240x240, Slice 93/155
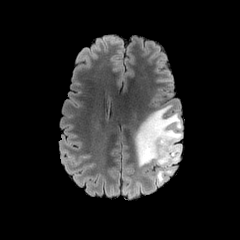
FLAIR MRI.
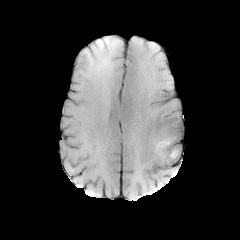
T1-weighted MRI.
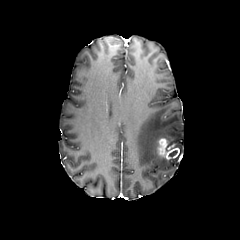
Post-contrast T1-weighted MRI of the same slice.
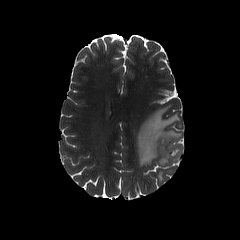
T2-weighted magnetic resonance of the same slice.
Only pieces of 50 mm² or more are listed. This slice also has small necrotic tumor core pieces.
Annotated regions:
• peritumoral edema: {"x1": 135, "y1": 105, "x2": 182, "y2": 183}
• enhancing tumor: {"x1": 158, "y1": 137, "x2": 179, "y2": 159}